Slice 87 of 155; Brain
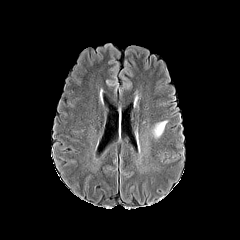
FLAIR MR image.
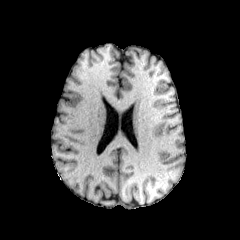
T1-weighted MR image.
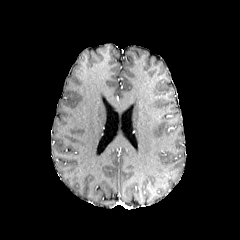
Post-contrast T1-weighted MRI.
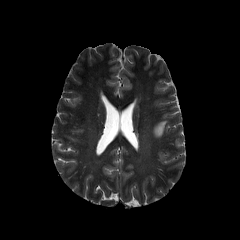
T2-weighted MRI.
{
  "peritumoral_edema": [
    "box(152, 121, 167, 137)"
  ]
}